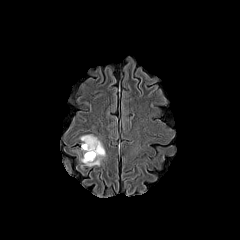
FLAIR MR image.
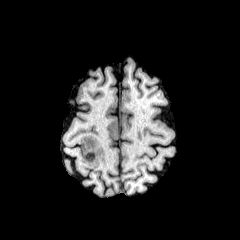
Same slice, T1-weighted magnetic resonance.
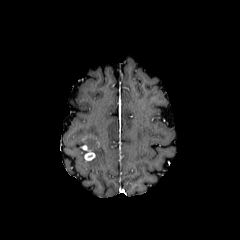
Post-contrast T1-weighted MRI.
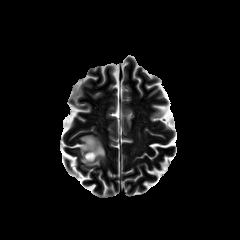
Same slice, T2-weighted MR.
Axial view
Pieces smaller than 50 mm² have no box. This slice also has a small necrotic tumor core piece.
peritumoral_edema:
  - bbox=[80, 134, 105, 166]
enhancing_tumor:
  - bbox=[81, 144, 95, 161]